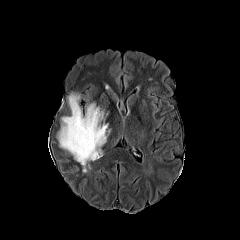
FLAIR MR image.
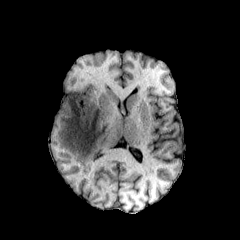
Same slice, T1-weighted MR.
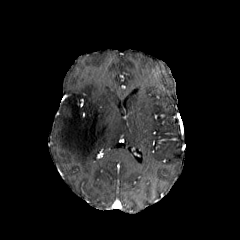
Post-contrast T1-weighted MRI.
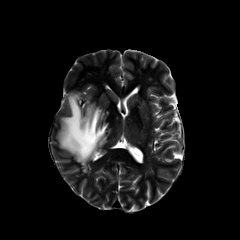
Same slice, T2-weighted MRI.
Axial slice, 240x240 px, Brain
The peritumoral edema is bounded by 57,94,110,172.